Slice 51/155; Brain
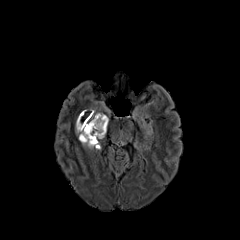
FLAIR MR image.
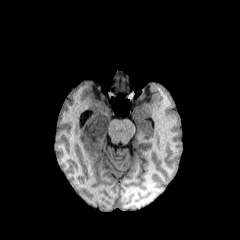
Same slice, T1-weighted MRI.
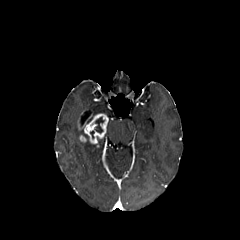
Post-contrast T1-weighted MR.
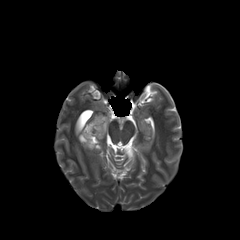
T2-weighted MRI of the same slice.
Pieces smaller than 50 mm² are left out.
• enhancing tumor: x1=78 y1=113 x2=108 y2=143
• peritumoral edema: x1=75 y1=114 x2=100 y2=149, x1=87 y1=110 x2=100 y2=123
• necrotic tumor core: x1=94 y1=117 x2=104 y2=133